FLAIR magnetic resonance.
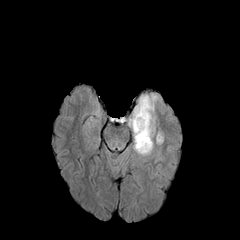
T1-weighted magnetic resonance.
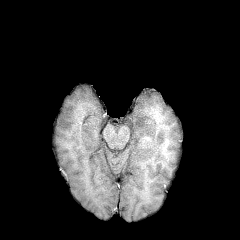
Post-contrast T1-weighted MR image.
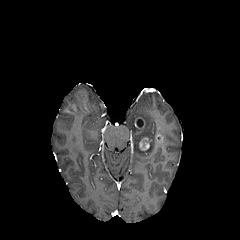
T2-weighted MR image.
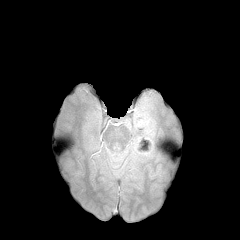
Head.
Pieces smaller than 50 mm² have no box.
* enhancing tumor: (x1=134, y1=117, x2=145, y2=129), (x1=139, y1=138, x2=149, y2=150)
* peritumoral edema: (x1=128, y1=94, x2=163, y2=156)
* necrotic tumor core: (x1=136, y1=118, x2=143, y2=127)